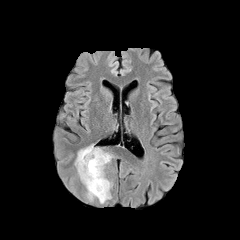
FLAIR MRI.
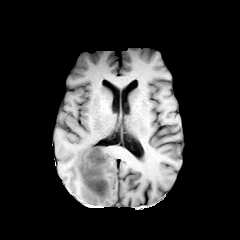
T1-weighted MR of the same slice.
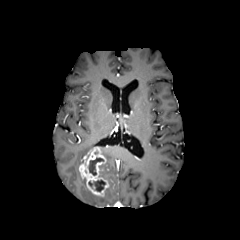
Same slice, post-contrast T1-weighted MR image.
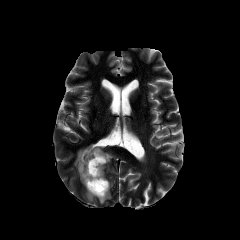
T2-weighted MR image of the same slice.
240x240 | Head
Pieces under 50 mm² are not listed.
2 necrotic tumor core regions are located at rect(89, 158, 103, 175); rect(89, 180, 105, 191). The 3 largest peritumoral edema regions are located at rect(86, 180, 111, 203); rect(74, 144, 93, 186); rect(103, 150, 113, 163). The enhancing tumor is bounded by rect(79, 147, 109, 196).